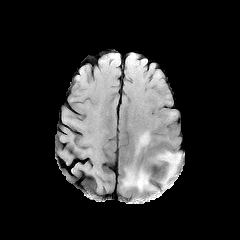
FLAIR magnetic resonance.
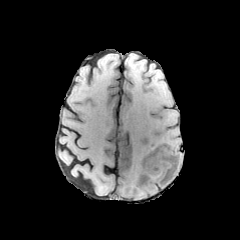
Same slice, T1-weighted MR.
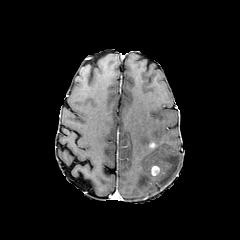
Same slice, post-contrast T1-weighted magnetic resonance.
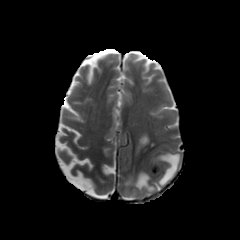
T2-weighted magnetic resonance.
Axial view
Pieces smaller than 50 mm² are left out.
enhancing tumor: left=151, top=166, right=159, bottom=175 | peritumoral edema: left=148, top=152, right=180, bottom=185; left=124, top=133, right=154, bottom=190